Image size 240x240, Slice index 108, Brain
FLAIR MR image.
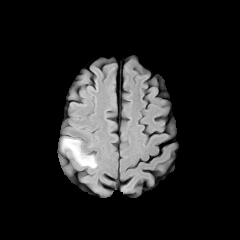
T1-weighted MR image.
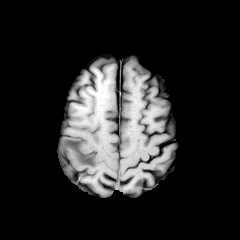
Post-contrast T1-weighted MRI.
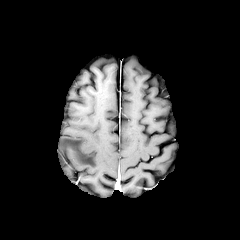
T2-weighted magnetic resonance.
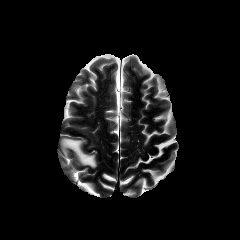
peritumoral edema: left=62, top=138, right=96, bottom=168; left=61, top=162, right=73, bottom=176